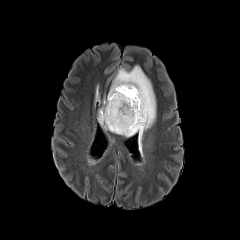
FLAIR magnetic resonance.
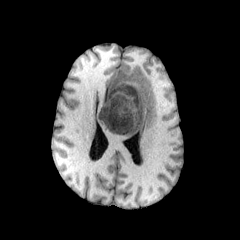
Same slice, T1-weighted MRI.
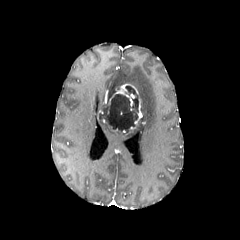
Same slice, post-contrast T1-weighted MR image.
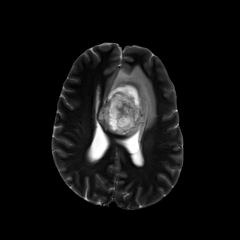
T2-weighted MR image.
240x240 px
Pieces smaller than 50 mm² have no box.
The necrotic tumor core is at l=99, t=86, r=138, b=133. The 2 largest peritumoral edema regions appear at l=109, t=65, r=155, b=150; l=98, t=119, r=111, b=131. The 2 largest enhancing tumor regions are bounded by l=129, t=97, r=142, b=132; l=112, t=84, r=138, b=106.